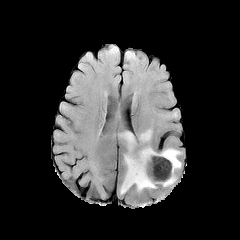
FLAIR MRI.
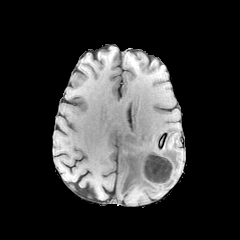
T1-weighted MR.
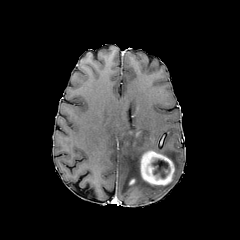
Post-contrast T1-weighted MR.
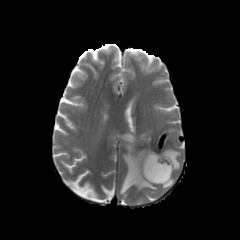
T2-weighted MRI.
Axial view
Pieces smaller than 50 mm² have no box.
necrotic_tumor_core:
  - <bbox>152, 159, 169, 178</bbox>
enhancing_tumor:
  - <bbox>140, 151, 174, 185</bbox>
peritumoral_edema:
  - <bbox>119, 131, 156, 194</bbox>
  - <bbox>139, 129, 151, 142</bbox>
  - <bbox>158, 148, 181, 171</bbox>
  - <bbox>163, 174, 176, 187</bbox>